Image width 240 mm.
FLAIR MRI.
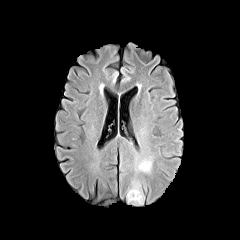
T1-weighted MR.
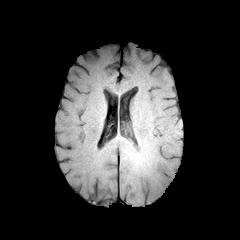
Post-contrast T1-weighted MRI.
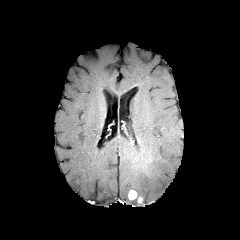
T2-weighted MR image.
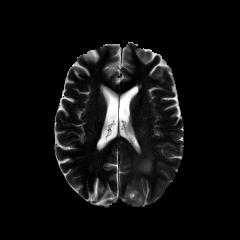
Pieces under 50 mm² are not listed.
2 peritumoral edema regions are located at <box>139,161,150,171</box>, <box>127,188,143,204</box>. The largest enhancing tumor region is located at <box>128,190,136,199</box>.